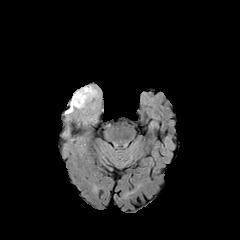
FLAIR MRI.
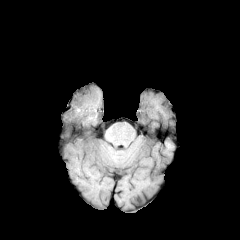
T1-weighted MRI.
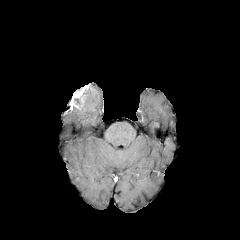
Post-contrast T1-weighted MR.
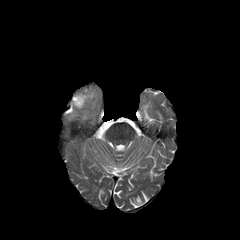
T2-weighted magnetic resonance.
Head.
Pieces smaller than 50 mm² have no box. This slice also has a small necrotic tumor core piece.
<segmentation>
  <enhancing_tumor><bbox>68, 85, 96, 110</bbox></enhancing_tumor>
  <peritumoral_edema><bbox>81, 91, 98, 109</bbox></peritumoral_edema>
</segmentation>